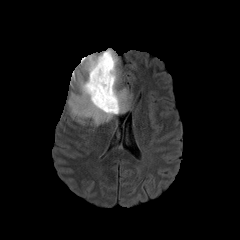
FLAIR magnetic resonance.
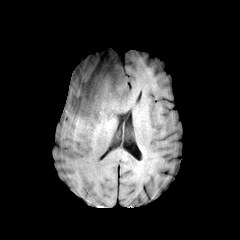
Same slice, T1-weighted MR.
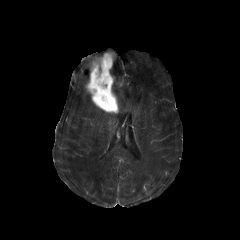
Post-contrast T1-weighted MR image of the same slice.
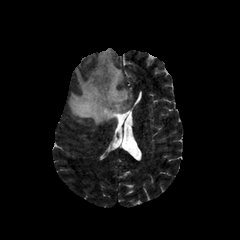
Same slice, T2-weighted MR image.
The peritumoral edema lies within x1=67 y1=49 x2=131 y2=126. The enhancing tumor lies within x1=85 y1=52 x2=118 y2=112.